Slice index 108 | Axial view | Image covers 240 mm x 240 mm
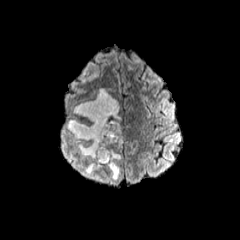
FLAIR magnetic resonance.
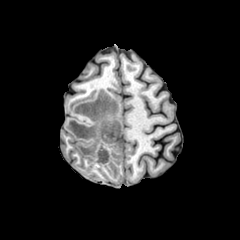
T1-weighted magnetic resonance of the same slice.
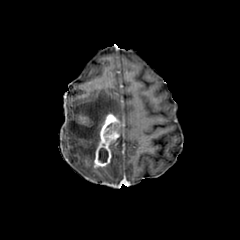
Post-contrast T1-weighted MRI.
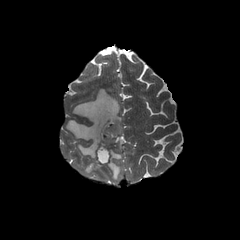
T2-weighted MR of the same slice.
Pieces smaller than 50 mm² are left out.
<segmentation>
  <necrotic_tumor_core>100, 123, 119, 146; 98, 148, 108, 162</necrotic_tumor_core>
  <enhancing_tumor>93, 113, 121, 168</enhancing_tumor>
  <peritumoral_edema>106, 148, 121, 179; 116, 131, 122, 148; 66, 88, 121, 175</peritumoral_edema>
</segmentation>